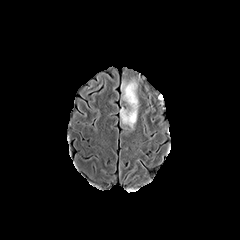
FLAIR MRI.
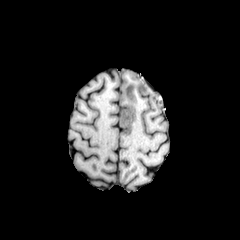
Same slice, T1-weighted MRI.
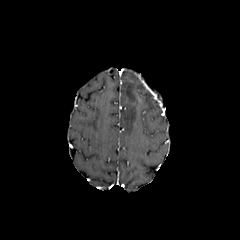
Post-contrast T1-weighted MRI.
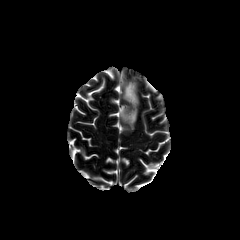
T2-weighted magnetic resonance.
240x240; Head
Findings:
* peritumoral edema: 120,79,140,130